Image width 240 mm
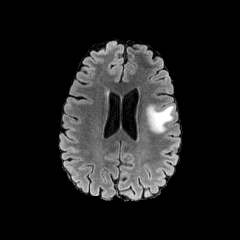
FLAIR MR.
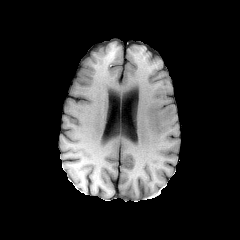
T1-weighted MRI.
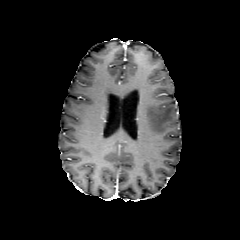
Post-contrast T1-weighted MR image of the same slice.
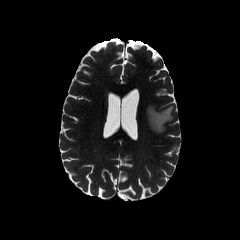
T2-weighted magnetic resonance.
{"peritumoral_edema": ["x1=146 y1=105 x2=174 y2=132"]}